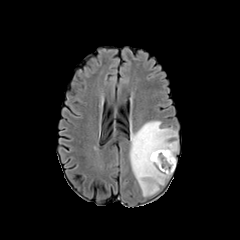
FLAIR MR.
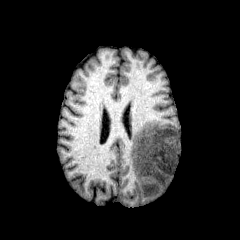
T1-weighted MRI.
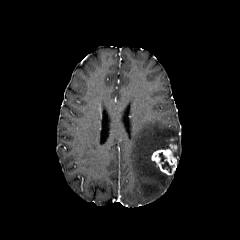
Same slice, post-contrast T1-weighted magnetic resonance.
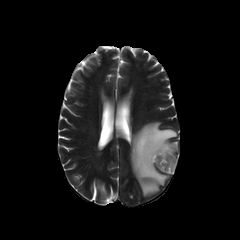
T2-weighted magnetic resonance.
Image size 240x240. Head.
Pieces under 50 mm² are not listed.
enhancing tumor: [151,144,177,175]
necrotic tumor core: [162,161,172,172]
peritumoral edema: [130,121,178,196]